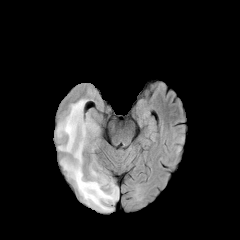
FLAIR MR.
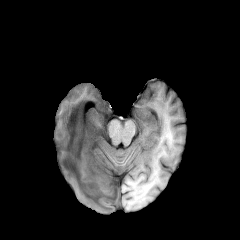
T1-weighted MRI.
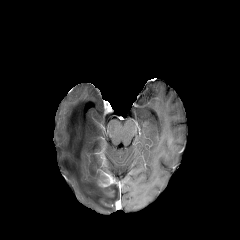
Same slice, post-contrast T1-weighted MRI.
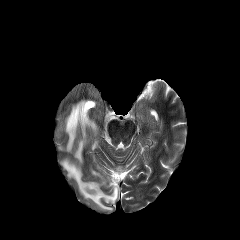
T2-weighted MR of the same slice.
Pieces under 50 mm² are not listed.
The peritumoral edema appears at 56:99:118:211. The largest enhancing tumor region is bounded by 99:170:116:186.